Slice 54 of 155; Axial slice
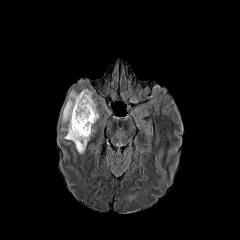
FLAIR magnetic resonance.
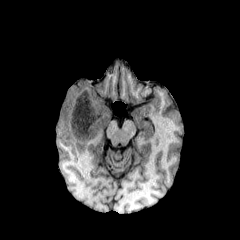
T1-weighted magnetic resonance.
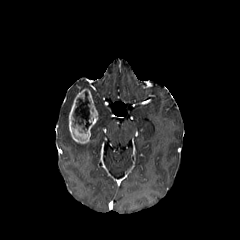
Post-contrast T1-weighted MR of the same slice.
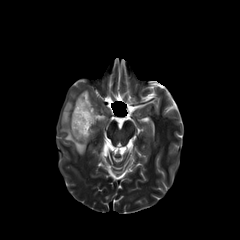
Same slice, T2-weighted MR.
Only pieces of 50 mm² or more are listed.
{
  "necrotic_tumor_core": [
    "x1=73, y1=91, x2=91, y2=132"
  ],
  "peritumoral_edema": [
    "x1=61, y1=90, x2=86, y2=154"
  ],
  "enhancing_tumor": [
    "x1=69, y1=88, x2=98, y2=143"
  ]
}